240x240 px. Head. Axial slice.
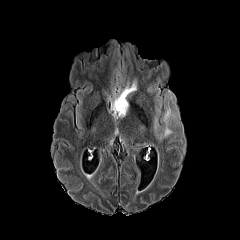
FLAIR MRI.
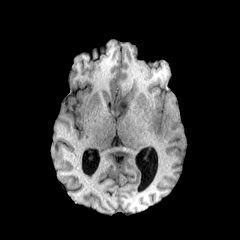
T1-weighted magnetic resonance of the same slice.
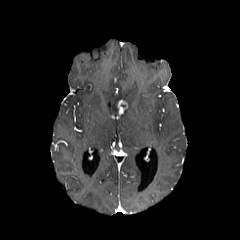
Post-contrast T1-weighted MR.
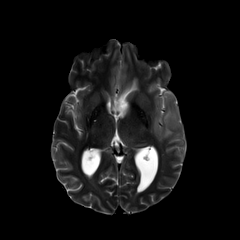
T2-weighted MR.
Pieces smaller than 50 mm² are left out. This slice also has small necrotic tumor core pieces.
Findings:
- peritumoral edema: left=154, top=116, right=158, bottom=135; left=109, top=80, right=136, bottom=115; left=160, top=106, right=178, bottom=138
- enhancing tumor: left=117, top=99, right=128, bottom=115